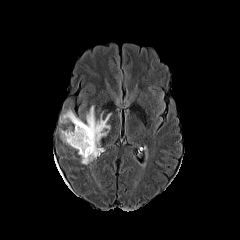
FLAIR MR image.
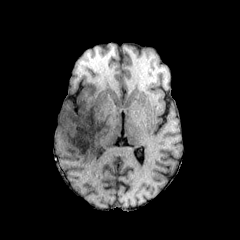
T1-weighted MRI of the same slice.
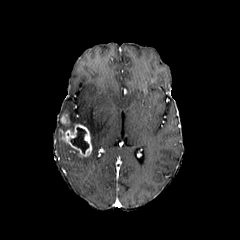
Same slice, post-contrast T1-weighted MR.
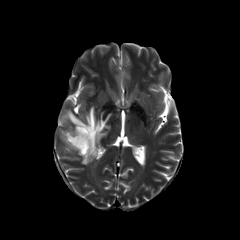
Same slice, T2-weighted MR.
Axial view; Head
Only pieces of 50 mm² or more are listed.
{
  "necrotic_tumor_core": [
    "70, 127, 88, 153"
  ],
  "peritumoral_edema": [
    "64, 106, 111, 164"
  ],
  "enhancing_tumor": [
    "61, 113, 69, 124",
    "59, 124, 92, 157"
  ]
}